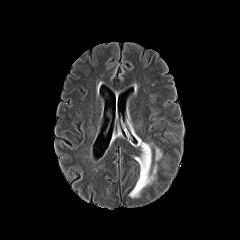
FLAIR magnetic resonance.
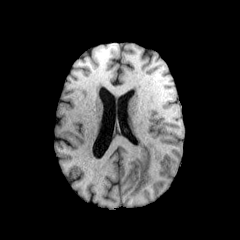
T1-weighted MR.
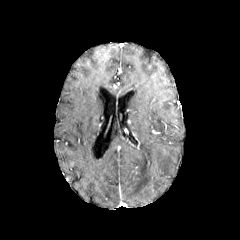
Post-contrast T1-weighted magnetic resonance of the same slice.
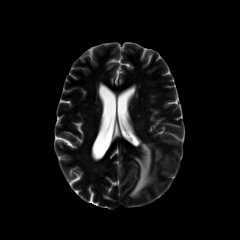
Same slice, T2-weighted MR.
Axial plane; Brain; 240x240 px
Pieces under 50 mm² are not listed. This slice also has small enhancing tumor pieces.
{
  "peritumoral_edema": [
    "<bbox>129, 141, 162, 197</bbox>"
  ]
}